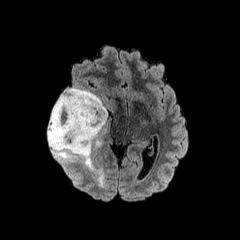
FLAIR MR image.
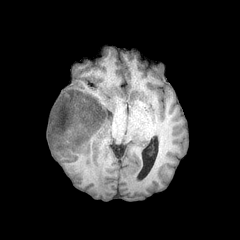
T1-weighted MR image of the same slice.
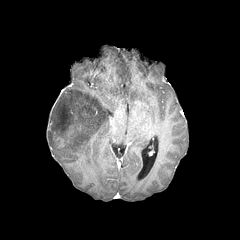
Post-contrast T1-weighted MRI.
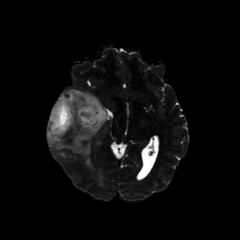
T2-weighted MR.
Axial plane
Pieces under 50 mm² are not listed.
The enhancing tumor is located at 56,137,64,146. The largest peritumoral edema region is at 47,87,107,168.